FLAIR MR.
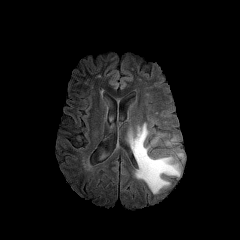
T1-weighted MR.
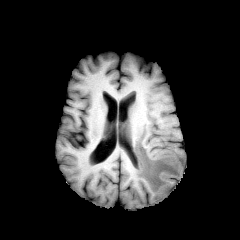
Post-contrast T1-weighted magnetic resonance.
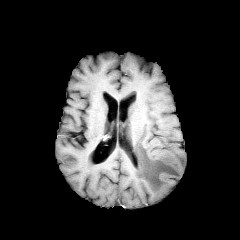
T2-weighted magnetic resonance.
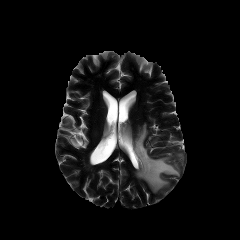
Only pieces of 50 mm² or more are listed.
The largest peritumoral edema region is bounded by rect(129, 123, 183, 193).